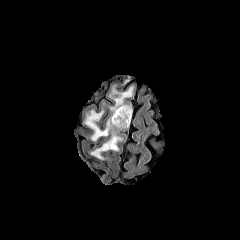
FLAIR magnetic resonance.
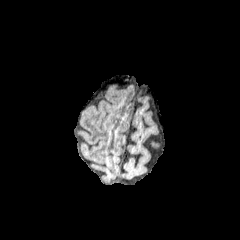
T1-weighted MR image of the same slice.
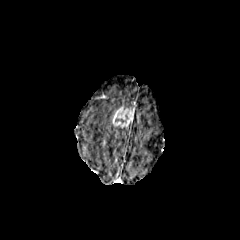
Post-contrast T1-weighted MRI.
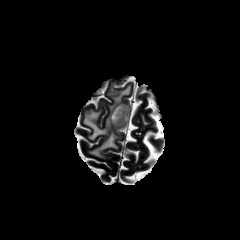
T2-weighted magnetic resonance.
Axial view
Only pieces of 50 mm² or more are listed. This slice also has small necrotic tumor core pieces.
The enhancing tumor is at bbox(111, 105, 133, 128). 2 peritumoral edema regions appear at bbox(110, 87, 133, 114); bbox(84, 110, 125, 159).